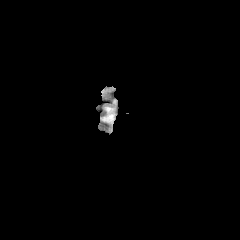
FLAIR MRI.
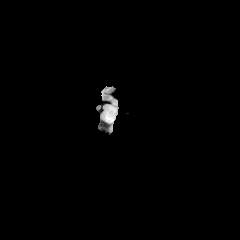
T1-weighted MR of the same slice.
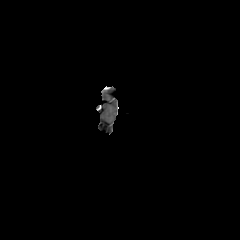
Same slice, post-contrast T1-weighted MR image.
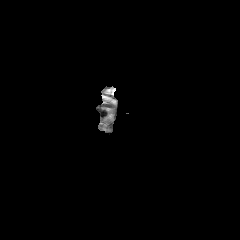
T2-weighted MRI.
Brain | Axial plane
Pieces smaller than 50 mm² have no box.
<segmentation>
  <peritumoral_edema><bbox>102, 107, 114, 122</bbox></peritumoral_edema>
</segmentation>